Axial slice; Slice index 73
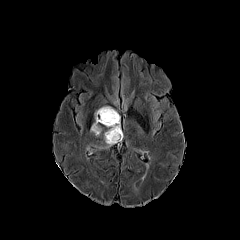
FLAIR magnetic resonance.
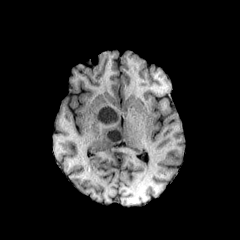
T1-weighted MR image of the same slice.
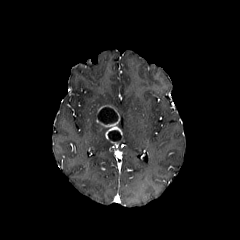
Same slice, post-contrast T1-weighted MR image.
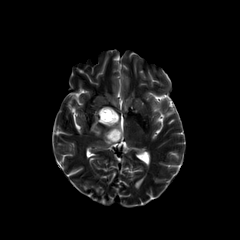
T2-weighted MRI of the same slice.
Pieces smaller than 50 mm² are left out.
enhancing tumor: 96, 105, 122, 143
necrotic tumor core: 98, 107, 118, 124; 108, 130, 120, 141
peritumoral edema: 90, 111, 101, 136; 95, 133, 113, 148